Image width 240 mm, 1.00 mm slice spacing, 240x240 px, Axial plane
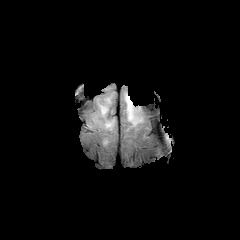
FLAIR MRI.
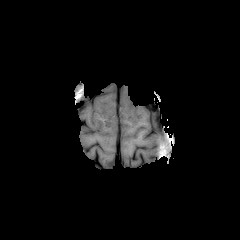
Same slice, T1-weighted MRI.
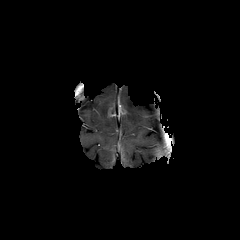
Post-contrast T1-weighted MR of the same slice.
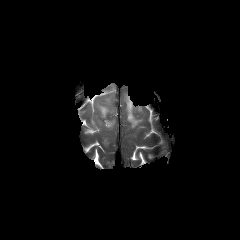
T2-weighted MR image of the same slice.
* peritumoral edema: rect(124, 93, 143, 127); rect(104, 119, 114, 129); rect(99, 98, 110, 117)